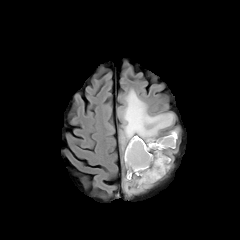
FLAIR MR image.
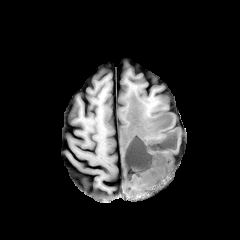
Same slice, T1-weighted MR.
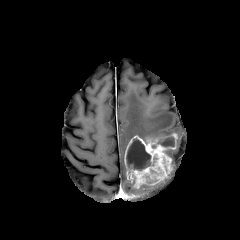
Post-contrast T1-weighted MR image of the same slice.
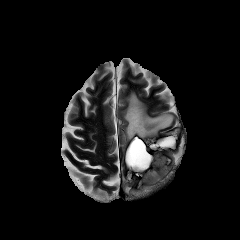
T2-weighted MRI.
Head
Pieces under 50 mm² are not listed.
<segmentation>
  <peritumoral_edema>x1=121 y1=91 x2=173 y2=150, x1=124 y1=176 x2=151 y2=193</peritumoral_edema>
  <enhancing_tumor>x1=124 y1=133 x2=177 y2=188</enhancing_tumor>
  <necrotic_tumor_core>x1=158 y1=137 x2=174 y2=146, x1=126 y1=139 x2=150 y2=170</necrotic_tumor_core>
</segmentation>